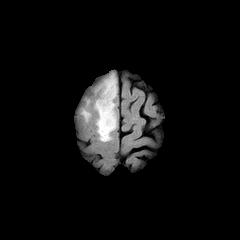
FLAIR MRI.
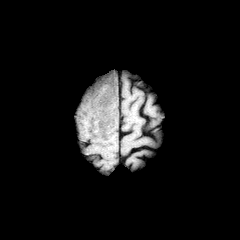
T1-weighted MRI.
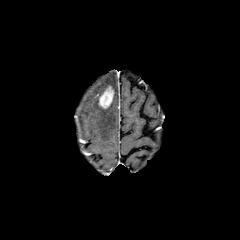
Post-contrast T1-weighted MRI.
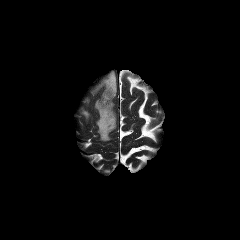
Same slice, T2-weighted magnetic resonance.
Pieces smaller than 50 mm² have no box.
{
  "enhancing_tumor": [
    "l=98, t=85, r=114, b=108"
  ],
  "peritumoral_edema": [
    "l=94, t=99, r=116, b=141",
    "l=97, t=73, r=116, b=99"
  ]
}